FLAIR MRI.
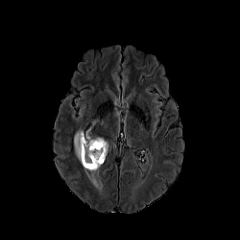
T1-weighted magnetic resonance.
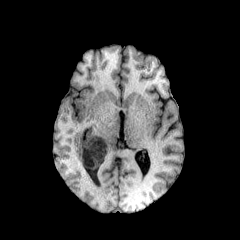
Post-contrast T1-weighted MRI.
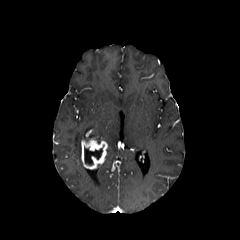
T2-weighted magnetic resonance.
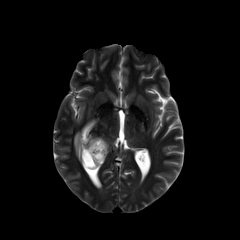
Head
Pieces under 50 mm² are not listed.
The largest peritumoral edema region is at [x1=74, y1=130, x2=103, y2=164]. The necrotic tumor core lies within [x1=84, y1=147, x2=102, y2=165]. The largest enhancing tumor region is at [x1=81, y1=139, x2=107, y2=169].